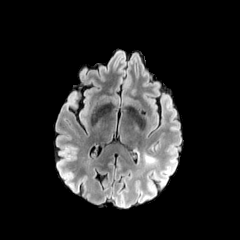
FLAIR MR image.
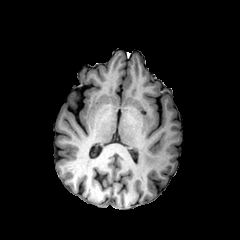
T1-weighted MR image.
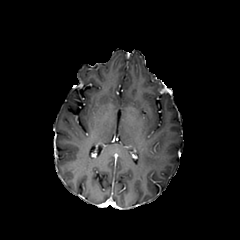
Post-contrast T1-weighted MRI.
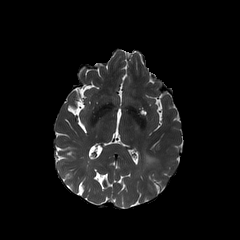
Same slice, T2-weighted magnetic resonance.
Head; Axial view
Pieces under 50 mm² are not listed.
<segmentation>
  <peritumoral_edema>box=[143, 152, 156, 164]</peritumoral_edema>
</segmentation>